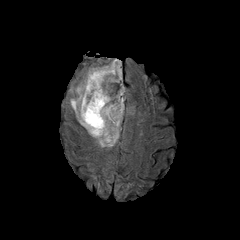
FLAIR MR.
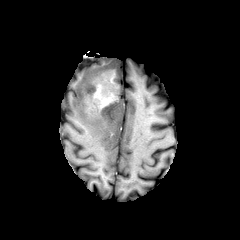
T1-weighted MR.
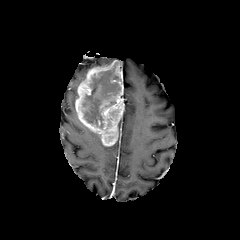
Post-contrast T1-weighted MRI of the same slice.
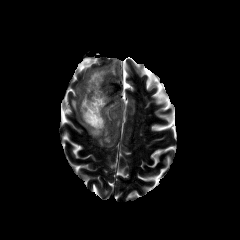
T2-weighted MRI.
240x240 px
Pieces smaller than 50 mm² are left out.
The largest peritumoral edema region is bounded by (70,86,105,147). The largest enhancing tumor region is located at (75,60,124,146). The largest necrotic tumor core region appears at (83,68,120,127).